Slice 76 of 155.
FLAIR MRI.
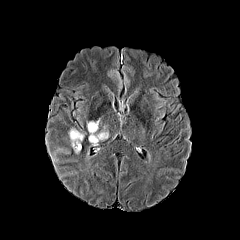
T1-weighted MRI.
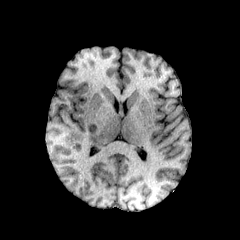
Post-contrast T1-weighted magnetic resonance.
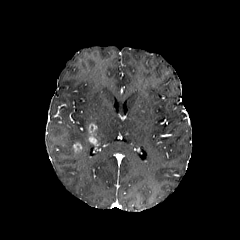
T2-weighted MR.
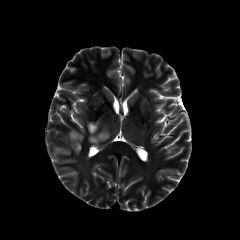
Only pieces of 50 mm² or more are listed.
{
  "enhancing_tumor": [
    "rect(87, 123, 97, 143)",
    "rect(73, 143, 81, 152)"
  ],
  "peritumoral_edema": [
    "rect(96, 130, 109, 141)",
    "rect(69, 129, 84, 145)"
  ]
}